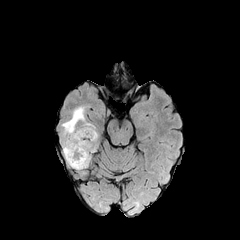
FLAIR MRI.
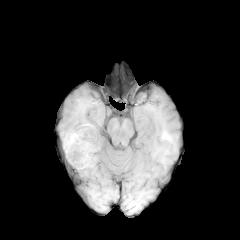
T1-weighted MR of the same slice.
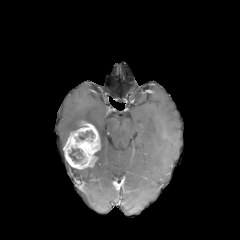
Same slice, post-contrast T1-weighted magnetic resonance.
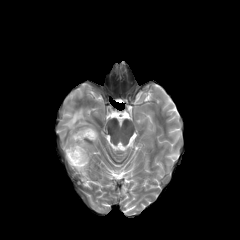
T2-weighted MR of the same slice.
Head
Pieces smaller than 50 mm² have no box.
{
  "necrotic_tumor_core": [
    "<bbox>78, 131, 93, 140</bbox>",
    "<bbox>69, 148, 83, 162</bbox>"
  ],
  "enhancing_tumor": [
    "<bbox>63, 122, 99, 169</bbox>"
  ],
  "peritumoral_edema": [
    "<bbox>62, 107, 85, 135</bbox>"
  ]
}